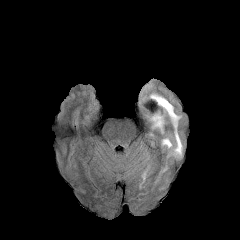
FLAIR magnetic resonance.
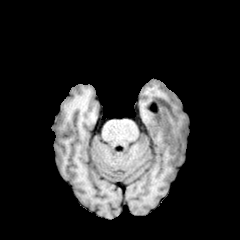
T1-weighted MRI of the same slice.
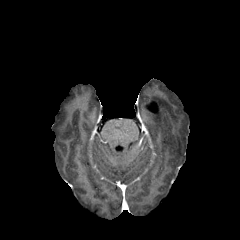
Post-contrast T1-weighted MRI of the same slice.
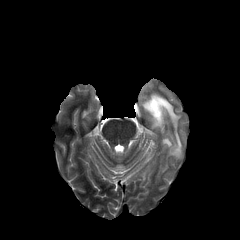
T2-weighted magnetic resonance.
Head, 240x240
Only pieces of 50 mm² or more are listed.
Annotated regions:
- peritumoral edema: (150,93,182,158)